Image width 240 mm, 1.00 mm slice spacing. Brain. Slice index 84.
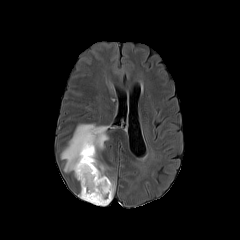
FLAIR magnetic resonance.
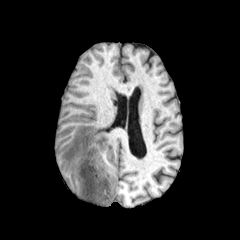
Same slice, T1-weighted MRI.
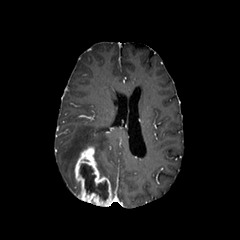
Same slice, post-contrast T1-weighted MR.
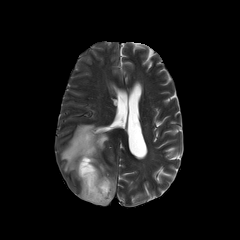
T2-weighted MR.
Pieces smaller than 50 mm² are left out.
enhancing tumor: <bbox>74, 146, 112, 206</bbox>
necrotic tumor core: <bbox>80, 164, 108, 200</bbox>
peritumoral edema: <bbox>60, 124, 115, 196</bbox>